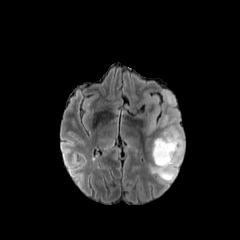
FLAIR MRI.
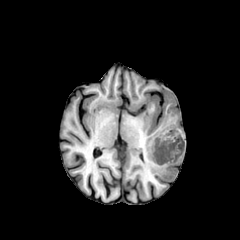
T1-weighted MR image.
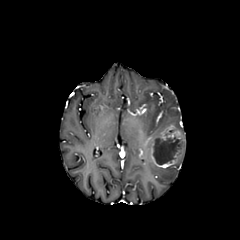
Post-contrast T1-weighted MR image of the same slice.
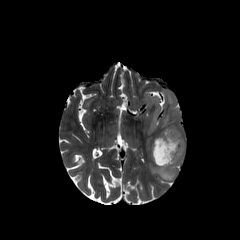
T2-weighted MR image.
Brain. Axial plane.
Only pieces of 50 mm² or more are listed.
necrotic tumor core: <box>153,137,182,164</box>
peritumoral edema: <box>150,156,182,181</box>, <box>142,89,183,141</box>
enhancing tumor: <box>151,125,184,168</box>